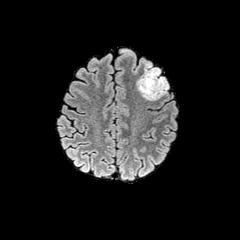
FLAIR MR.
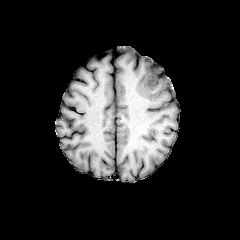
Same slice, T1-weighted MRI.
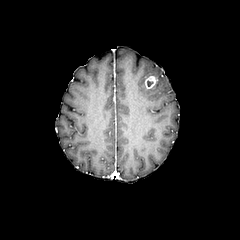
Post-contrast T1-weighted MR image.
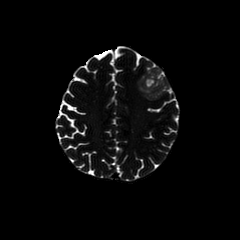
T2-weighted MRI.
Brain. Axial slice.
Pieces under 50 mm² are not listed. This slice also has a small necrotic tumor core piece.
<segmentation>
  <enhancing_tumor><box>144,75,157,89</box></enhancing_tumor>
  <peritumoral_edema><box>137,64,168,100</box></peritumoral_edema>
</segmentation>